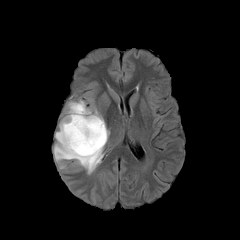
FLAIR MR.
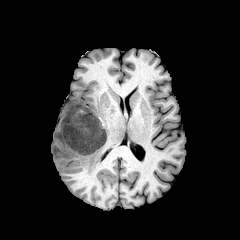
T1-weighted MRI.
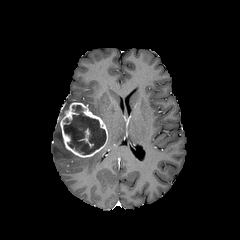
Post-contrast T1-weighted magnetic resonance.
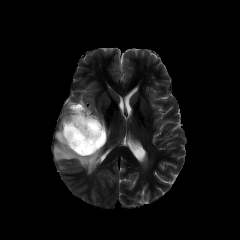
T2-weighted MR image.
Image size 240x240; Brain
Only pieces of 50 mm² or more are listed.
enhancing_tumor:
  - {"x1": 60, "y1": 102, "x2": 108, "y2": 157}
  - {"x1": 82, "y1": 129, "x2": 93, "y2": 147}
necrotic_tumor_core:
  - {"x1": 64, "y1": 105, "x2": 106, "y2": 154}
peritumoral_edema:
  - {"x1": 53, "y1": 124, "x2": 103, "y2": 174}